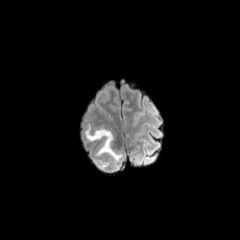
FLAIR MRI.
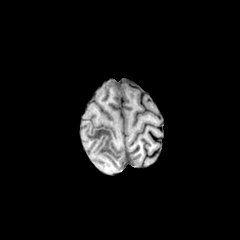
Same slice, T1-weighted MRI.
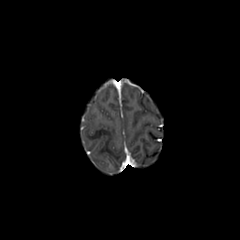
Post-contrast T1-weighted MRI.
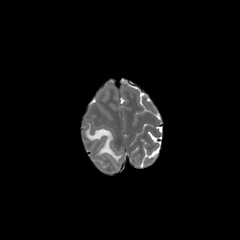
Same slice, T2-weighted MR.
Axial plane, Brain
peritumoral edema: bbox=[84, 124, 122, 169]